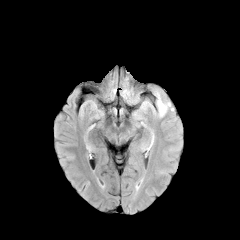
FLAIR MR.
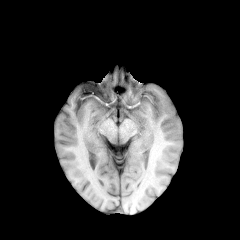
T1-weighted MRI.
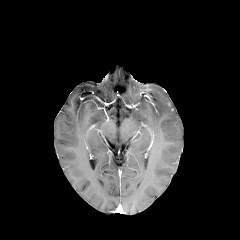
Post-contrast T1-weighted MRI.
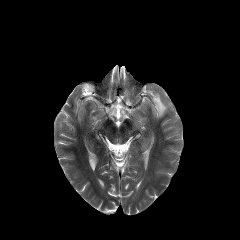
T2-weighted MR image.
Head
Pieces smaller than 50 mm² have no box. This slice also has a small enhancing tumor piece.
peritumoral edema: bounding box 141, 91, 173, 117